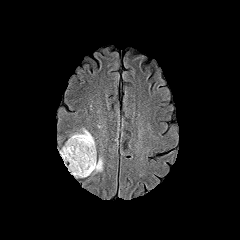
FLAIR magnetic resonance.
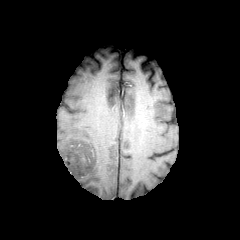
T1-weighted magnetic resonance of the same slice.
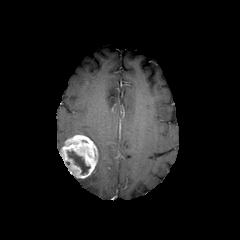
Post-contrast T1-weighted magnetic resonance of the same slice.
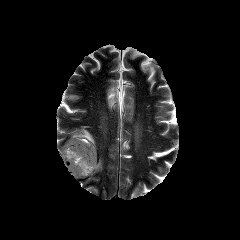
Same slice, T2-weighted MRI.
240x240
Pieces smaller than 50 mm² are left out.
The largest necrotic tumor core region lies within 67, 151, 89, 174. 2 peritumoral edema regions are bounded by 93, 157, 103, 172; 70, 128, 95, 144. The enhancing tumor lies within 60, 135, 97, 178.